Head, Image size 240x240, Image width 240 mm, 1.00 mm slice spacing, Axial plane
FLAIR MR image.
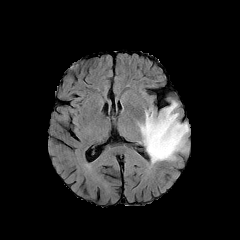
T1-weighted MRI.
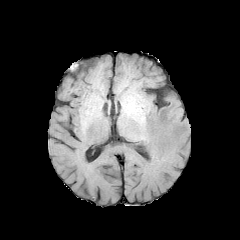
Post-contrast T1-weighted MR.
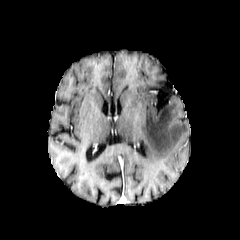
T2-weighted MR.
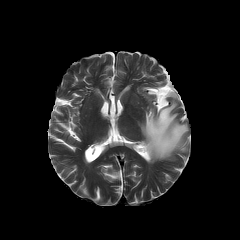
<segmentation>
  <peritumoral_edema>(138,101,189,163)</peritumoral_edema>
</segmentation>